FLAIR MR image.
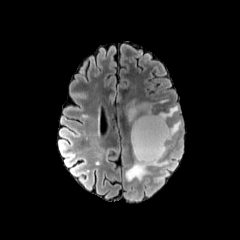
T1-weighted magnetic resonance.
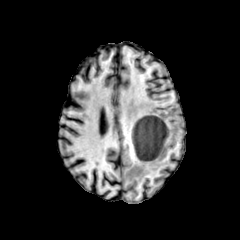
Post-contrast T1-weighted MR.
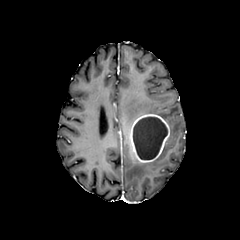
T2-weighted MRI.
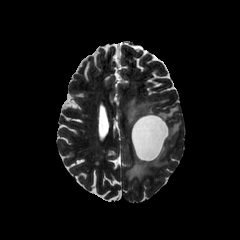
240x240.
The necrotic tumor core is at bbox=[133, 117, 167, 159]. 4 peritumoral edema regions are located at bbox=[126, 144, 167, 180]; bbox=[124, 98, 168, 125]; bbox=[156, 106, 178, 120]; bbox=[168, 121, 180, 139]. The enhancing tumor appears at bbox=[130, 114, 170, 162].